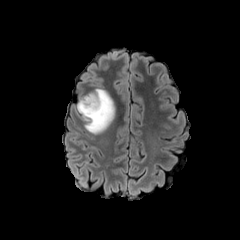
FLAIR magnetic resonance.
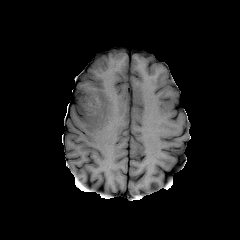
T1-weighted MR.
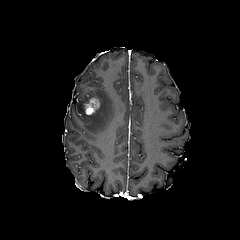
Same slice, post-contrast T1-weighted MR.
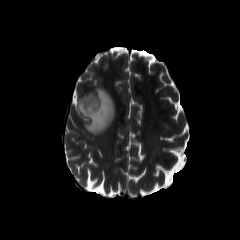
Same slice, T2-weighted magnetic resonance.
Brain
<segmentation>
  <peritumoral_edema>bbox(75, 88, 115, 134)</peritumoral_edema>
  <enhancing_tumor>bbox(84, 97, 100, 114)</enhancing_tumor>
</segmentation>